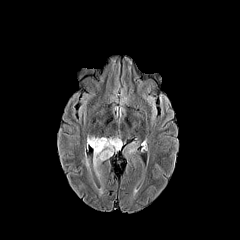
FLAIR MR image.
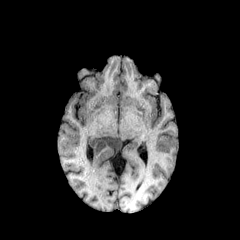
Same slice, T1-weighted MRI.
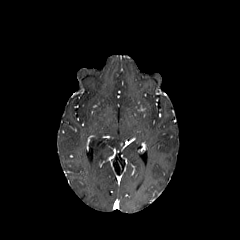
Post-contrast T1-weighted MRI of the same slice.
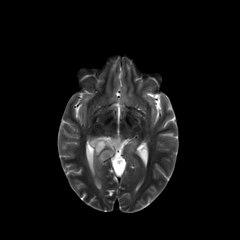
Same slice, T2-weighted MRI.
Brain.
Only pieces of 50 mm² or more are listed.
Annotated regions:
- peritumoral edema: bbox(88, 137, 121, 175)